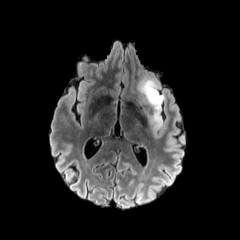
FLAIR MR image.
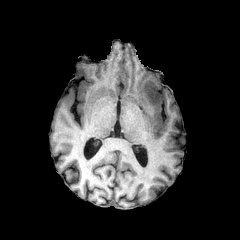
T1-weighted MR of the same slice.
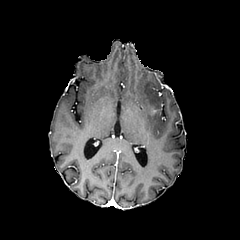
Same slice, post-contrast T1-weighted MR image.
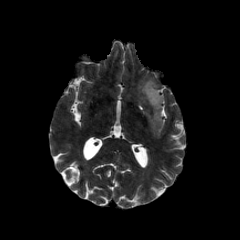
T2-weighted magnetic resonance.
240x240, Head
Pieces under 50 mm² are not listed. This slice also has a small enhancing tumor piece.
peritumoral edema — box(137, 77, 164, 132)